Brain, 240x240 px
FLAIR MR image.
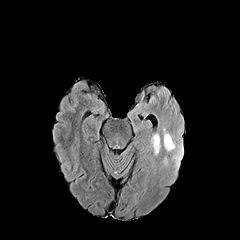
T1-weighted MR image.
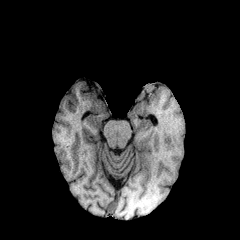
Post-contrast T1-weighted magnetic resonance.
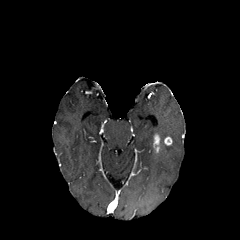
T2-weighted MR.
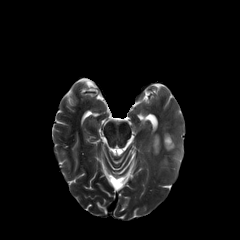
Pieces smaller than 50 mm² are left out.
Annotated regions:
* enhancing tumor: box=[164, 136, 172, 145]; box=[153, 134, 159, 152]
* peritumoral edema: box=[164, 141, 175, 151]; box=[174, 145, 183, 166]